FLAIR magnetic resonance.
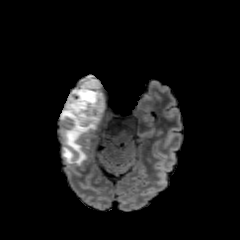
T1-weighted MR image.
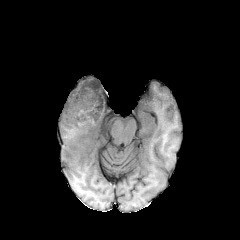
Post-contrast T1-weighted MRI.
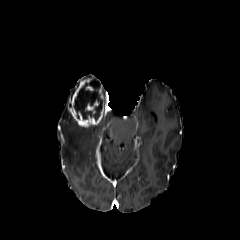
T2-weighted MRI.
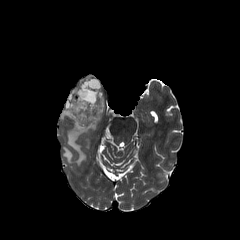
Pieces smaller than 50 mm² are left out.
{"peritumoral_edema": ["region(103, 87, 109, 110)", "region(60, 88, 114, 165)"], "enhancing_tumor": ["region(67, 75, 106, 127)", "region(85, 100, 98, 113)"], "necrotic_tumor_core": ["region(74, 79, 102, 120)"]}